Axial view.
FLAIR MR.
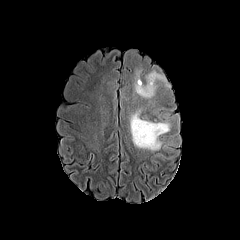
T1-weighted MR image.
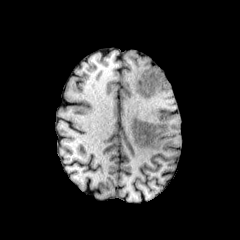
Post-contrast T1-weighted magnetic resonance.
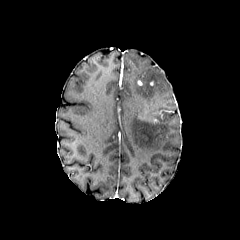
T2-weighted MR.
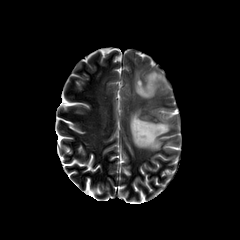
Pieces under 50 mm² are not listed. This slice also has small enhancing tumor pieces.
peritumoral edema: (left=130, top=109, right=170, bottom=151), (left=134, top=70, right=168, bottom=98)